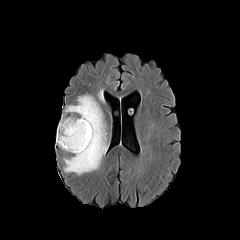
FLAIR MRI.
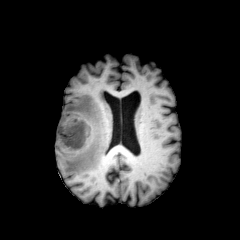
Same slice, T1-weighted MR.
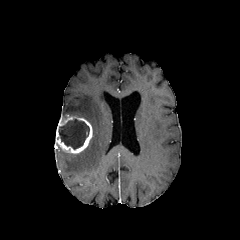
Post-contrast T1-weighted MRI of the same slice.
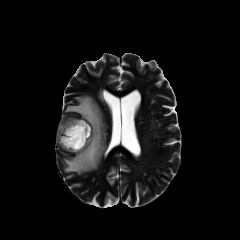
Same slice, T2-weighted MRI.
Axial plane. 240x240. Brain.
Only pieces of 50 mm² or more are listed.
The largest peritumoral edema region appears at [63,95,108,174]. The enhancing tumor lies within [55,115,92,153]. The necrotic tumor core is bounded by [58,119,89,149].